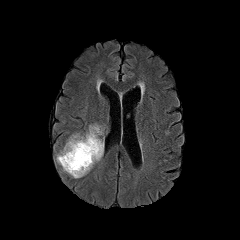
FLAIR MRI.
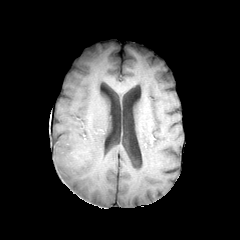
T1-weighted magnetic resonance of the same slice.
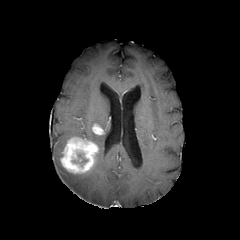
Same slice, post-contrast T1-weighted MR image.
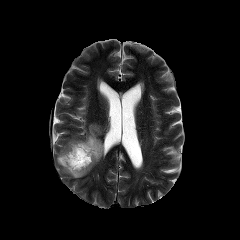
T2-weighted MR image of the same slice.
Image size 240x240, Axial plane, Brain
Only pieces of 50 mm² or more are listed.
Findings:
* necrotic tumor core: <bbox>72, 153, 87, 163</bbox>
* enhancing tumor: <bbox>60, 137, 98, 173</bbox>, <bbox>92, 124, 103, 134</bbox>
* peritumoral edema: <bbox>56, 148, 63, 165</bbox>, <bbox>62, 166, 89, 178</bbox>, <bbox>68, 124, 104, 163</bbox>